Slice 32 of 155. Image size 240x240. Image width 240 mm, 1.00 mm slice spacing. Axial plane. Head.
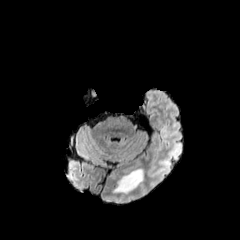
FLAIR MR image.
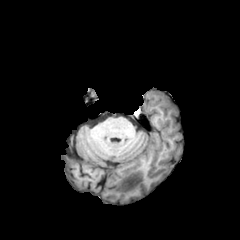
T1-weighted MR image of the same slice.
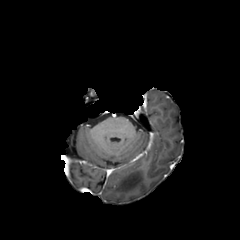
Post-contrast T1-weighted MR.
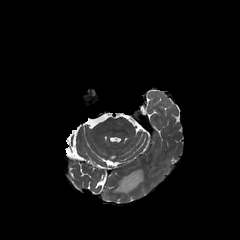
T2-weighted MRI.
peritumoral edema: left=112, top=168, right=143, bottom=193